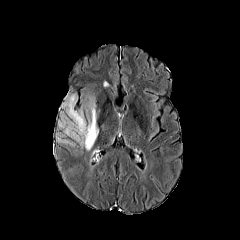
FLAIR MR.
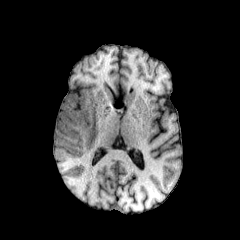
Same slice, T1-weighted MRI.
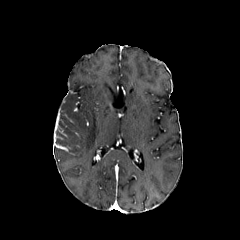
Post-contrast T1-weighted MR image.
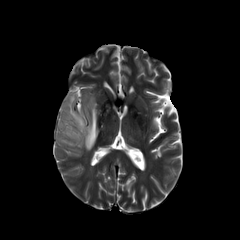
T2-weighted MRI.
Image size 240x240; Axial view; Brain
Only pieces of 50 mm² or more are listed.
The 2 largest peritumoral edema regions are bounded by [x1=58, y1=92, x2=98, y2=150], [x1=57, y1=138, x2=74, y2=146].